Head, Slice index 76
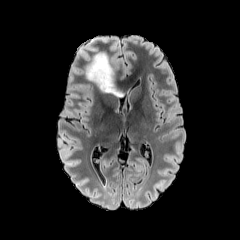
FLAIR magnetic resonance.
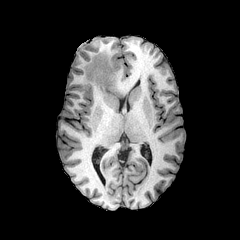
Same slice, T1-weighted magnetic resonance.
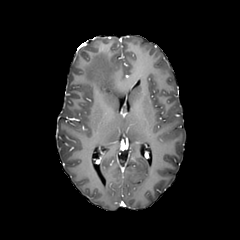
Post-contrast T1-weighted magnetic resonance.
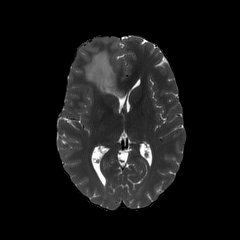
T2-weighted MRI.
The peritumoral edema lies within <box>85,52,122,97</box>.